Image covers 240 mm x 240 mm, Slice 73/155
FLAIR magnetic resonance.
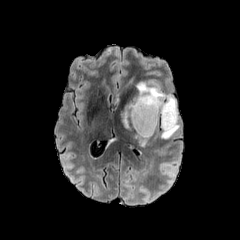
T1-weighted magnetic resonance.
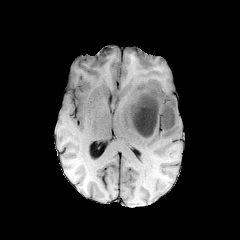
Post-contrast T1-weighted MRI.
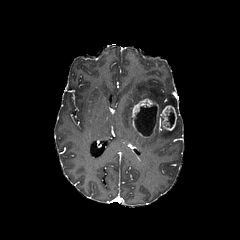
T2-weighted magnetic resonance.
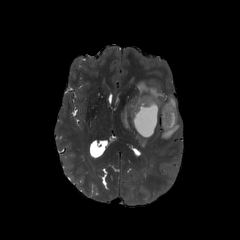
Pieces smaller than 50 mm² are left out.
{"enhancing_tumor": ["131,97,176,137"], "peritumoral_edema": ["134,135,149,146", "120,82,179,138"], "necrotic_tumor_core": ["167,108,174,127", "135,105,157,136"]}